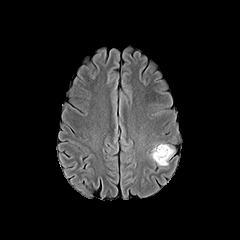
FLAIR MRI.
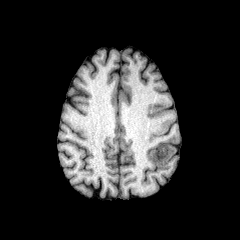
T1-weighted magnetic resonance.
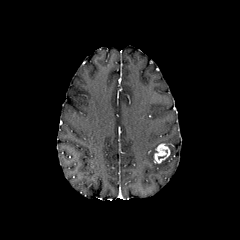
Same slice, post-contrast T1-weighted MR image.
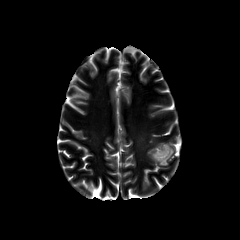
T2-weighted magnetic resonance.
Brain.
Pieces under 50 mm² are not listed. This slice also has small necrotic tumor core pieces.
{
  "peritumoral_edema": [
    "left=159, top=146, right=174, bottom=165"
  ],
  "enhancing_tumor": [
    "left=154, top=143, right=170, bottom=163"
  ]
}